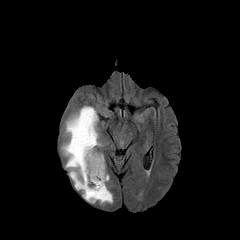
FLAIR MR.
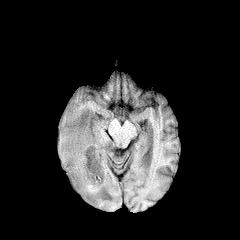
Same slice, T1-weighted magnetic resonance.
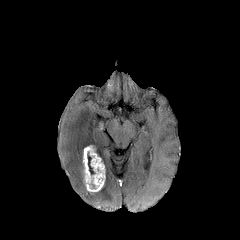
Same slice, post-contrast T1-weighted magnetic resonance.
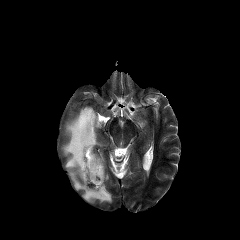
Same slice, T2-weighted magnetic resonance.
Brain
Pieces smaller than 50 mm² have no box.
Annotated regions:
• peritumoral edema: 61, 106, 112, 203
• enhancing tumor: 82, 145, 105, 192
• necrotic tumor core: 88, 153, 94, 174